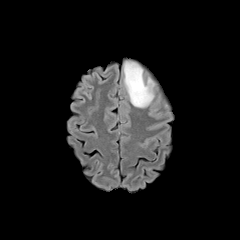
FLAIR magnetic resonance.
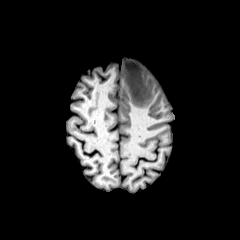
Same slice, T1-weighted MR image.
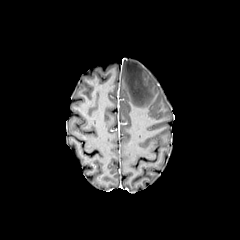
Post-contrast T1-weighted MR image.
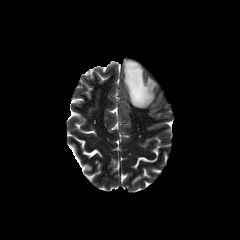
Same slice, T2-weighted MRI.
Image size 240x240; Head
The peritumoral edema is at (x1=124, y1=61, x2=154, y2=107).